FLAIR MR.
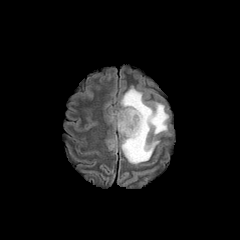
T1-weighted MRI.
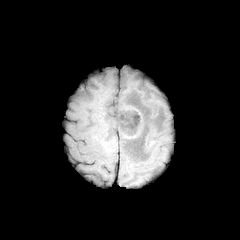
Post-contrast T1-weighted MR.
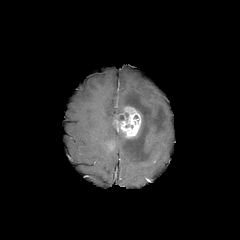
T2-weighted MRI.
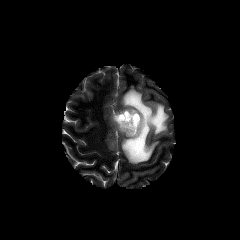
Axial plane
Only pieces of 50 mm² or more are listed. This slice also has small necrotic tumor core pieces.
{
  "enhancing_tumor": [
    "x1=113, y1=106, x2=141, y2=138"
  ],
  "peritumoral_edema": [
    "x1=110, y1=86, x2=168, y2=164"
  ]
}